FLAIR MR image.
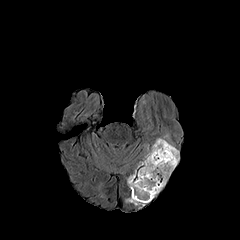
T1-weighted MR.
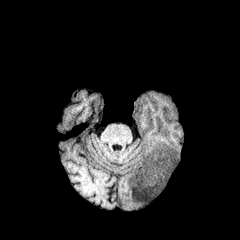
Post-contrast T1-weighted MR.
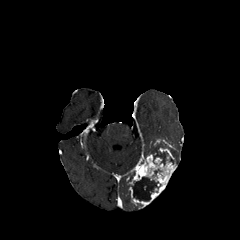
T2-weighted MRI.
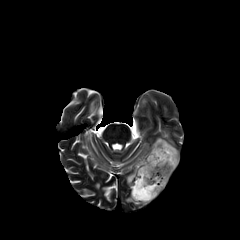
Axial plane.
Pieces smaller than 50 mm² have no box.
peritumoral edema — [143,145,153,156]
enhancing tumor — [128,139,177,207]
necrotic tumor core — [129,177,158,201], [150,148,167,165], [168,147,178,164]